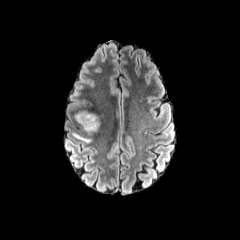
FLAIR MRI.
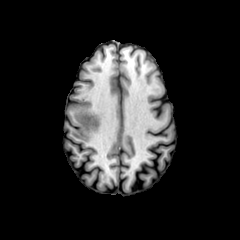
T1-weighted magnetic resonance.
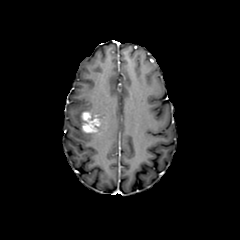
Same slice, post-contrast T1-weighted MRI.
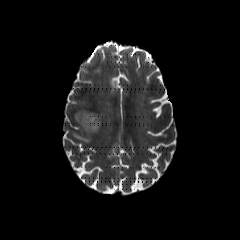
T2-weighted MR image of the same slice.
Brain
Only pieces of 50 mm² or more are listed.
The 2 largest peritumoral edema regions appear at {"x1": 72, "y1": 132, "x2": 96, "y2": 142}, {"x1": 75, "y1": 110, "x2": 95, "y2": 129}. The enhancing tumor is located at {"x1": 81, "y1": 111, "x2": 100, "y2": 132}.